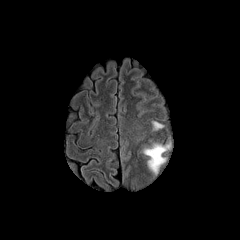
FLAIR MR image.
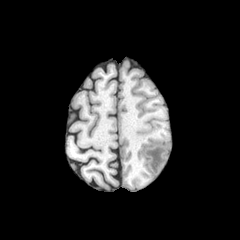
T1-weighted MRI.
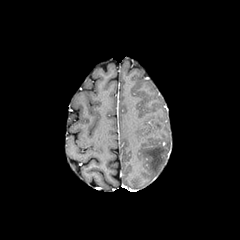
Post-contrast T1-weighted MR of the same slice.
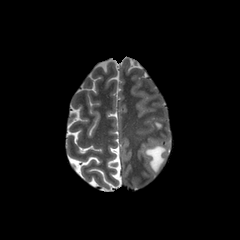
T2-weighted MR.
Head
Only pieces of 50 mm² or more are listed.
peritumoral edema: bounding box left=144, top=144, right=169, bottom=173